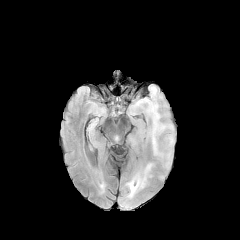
FLAIR MRI.
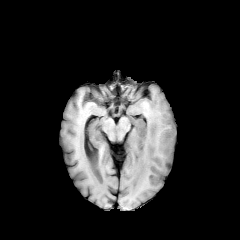
T1-weighted magnetic resonance.
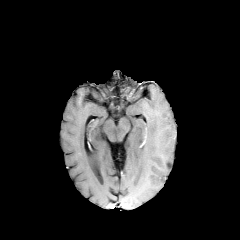
Post-contrast T1-weighted MR image of the same slice.
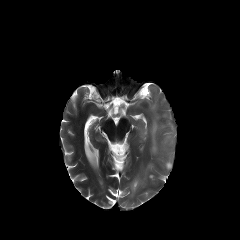
Same slice, T2-weighted MRI.
Head
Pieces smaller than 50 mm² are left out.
Findings:
* peritumoral edema: 152,114,164,153; 129,178,142,191